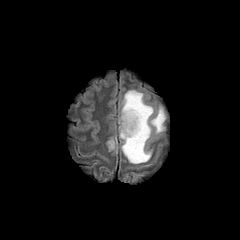
FLAIR MR.
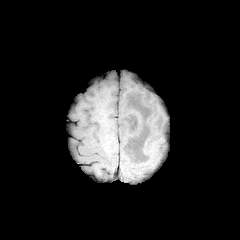
Same slice, T1-weighted MR.
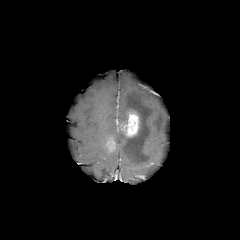
Post-contrast T1-weighted MR image.
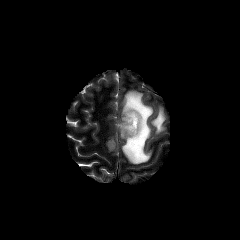
Same slice, T2-weighted MR image.
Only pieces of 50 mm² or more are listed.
enhancing tumor — bbox(107, 140, 115, 150); bbox(118, 110, 139, 137)
peritumoral edema — bbox(118, 90, 165, 164)